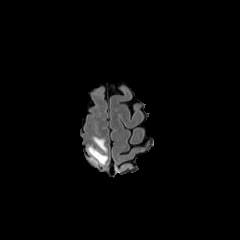
FLAIR MRI.
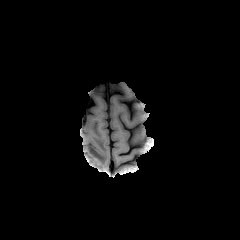
T1-weighted MR.
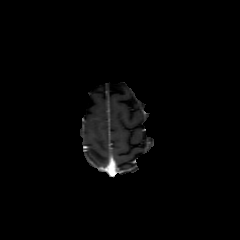
Post-contrast T1-weighted MR image.
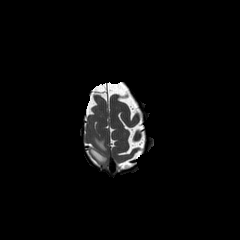
Same slice, T2-weighted MRI.
Axial slice. Brain.
peritumoral_edema:
  - x1=88, y1=136, x2=108, y2=164